Axial plane; 240x240 px; Slice 69/155; Brain
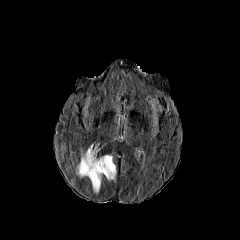
FLAIR magnetic resonance.
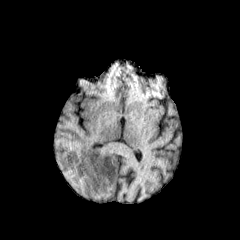
T1-weighted MRI.
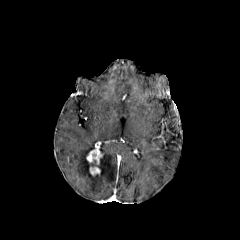
Post-contrast T1-weighted magnetic resonance.
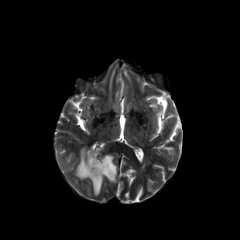
T2-weighted MR of the same slice.
* enhancing tumor: x1=86 y1=147 x2=102 y2=175
* peritumoral edema: x1=76 y1=145 x2=116 y2=193